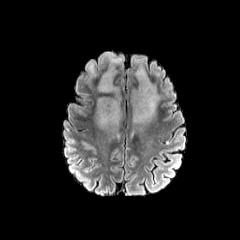
FLAIR MR.
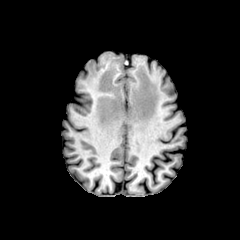
T1-weighted MR image.
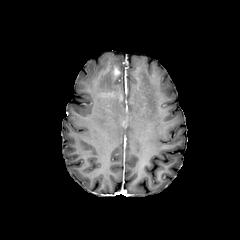
Same slice, post-contrast T1-weighted MR image.
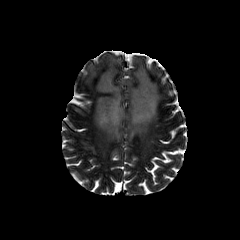
Same slice, T2-weighted MR image.
Axial slice.
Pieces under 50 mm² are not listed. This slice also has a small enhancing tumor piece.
2 peritumoral edema regions are located at [132, 60, 159, 131], [95, 53, 123, 134].